240x240 px; Slice index 100; Axial slice; Brain
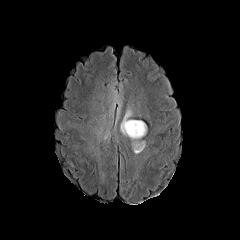
FLAIR MRI.
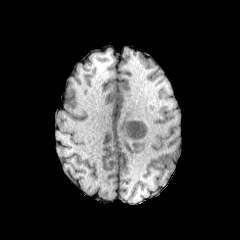
T1-weighted MR image.
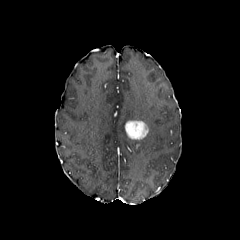
Post-contrast T1-weighted MR image.
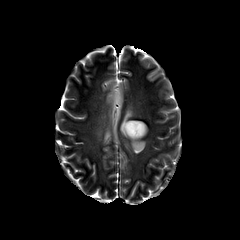
T2-weighted MRI.
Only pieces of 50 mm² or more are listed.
<segmentation>
  <peritumoral_edema>{"x1": 130, "y1": 139, "x2": 145, "y2": 153}, {"x1": 120, "y1": 107, "x2": 132, "y2": 136}, {"x1": 116, "y1": 100, "x2": 121, "y2": 123}, {"x1": 112, "y1": 86, "x2": 115, "y2": 112}</peritumoral_edema>
  <enhancing_tumor>{"x1": 125, "y1": 120, "x2": 148, "y2": 139}</enhancing_tumor>
</segmentation>